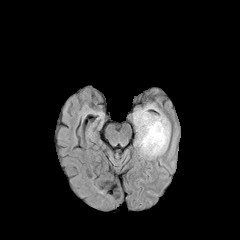
FLAIR MR image.
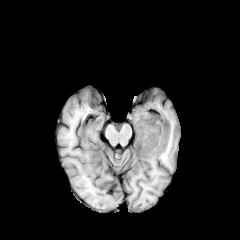
Same slice, T1-weighted MR image.
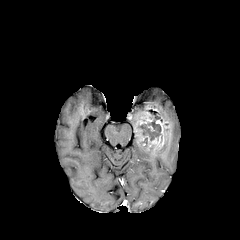
Post-contrast T1-weighted magnetic resonance.
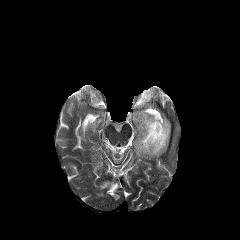
T2-weighted magnetic resonance of the same slice.
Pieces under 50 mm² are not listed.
necrotic tumor core: bounding box <bbox>138, 117, 161, 140</bbox>
enhancing tumor: bounding box <bbox>135, 106, 170, 155</bbox>
peritumoral edema: bounding box <bbox>146, 104, 167, 119</bbox>, <bbox>134, 138, 169, 159</bbox>, <bbox>131, 106, 145, 124</bbox>